Brain
FLAIR magnetic resonance.
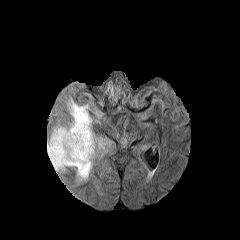
T1-weighted MR image.
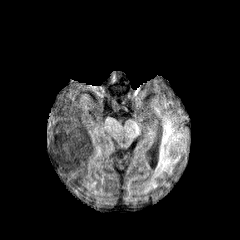
Post-contrast T1-weighted MR.
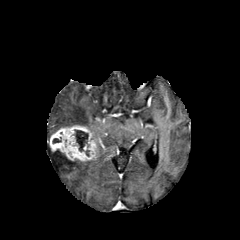
T2-weighted magnetic resonance.
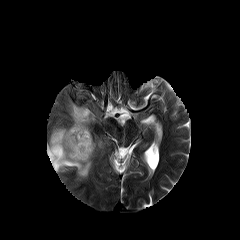
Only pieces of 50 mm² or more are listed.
Findings:
• enhancing tumor: box=[49, 125, 96, 161]
• necrotic tumor core: box=[74, 130, 88, 151]
• peritumoral edema: box=[68, 100, 91, 132]; box=[47, 142, 92, 180]